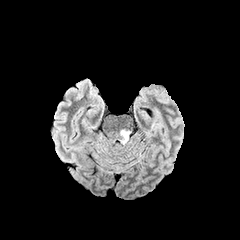
FLAIR MR.
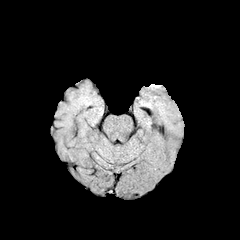
T1-weighted MR image.
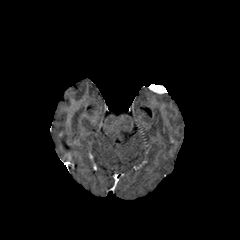
Same slice, post-contrast T1-weighted magnetic resonance.
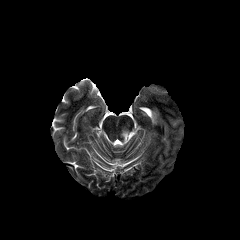
Same slice, T2-weighted MR.
Brain
The peritumoral edema appears at {"x1": 121, "y1": 130, "x2": 129, "y2": 143}.